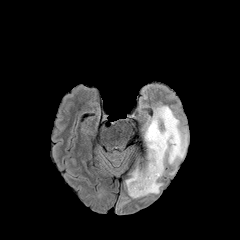
FLAIR MRI.
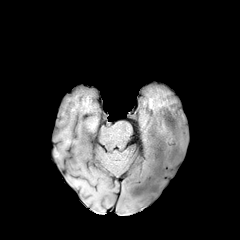
T1-weighted MR.
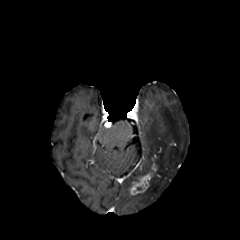
Same slice, post-contrast T1-weighted MR image.
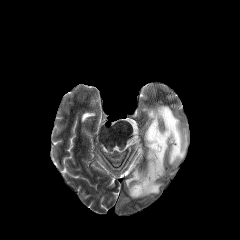
T2-weighted MR image.
Head
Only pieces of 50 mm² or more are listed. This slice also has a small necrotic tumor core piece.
Segmented structures:
* peritumoral edema: left=125, top=105, right=188, bottom=198
* enhancing tumor: left=129, top=154, right=157, bottom=195